Axial view | Brain
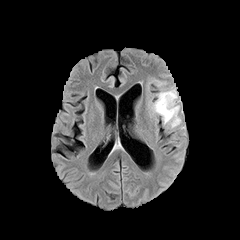
FLAIR MR image.
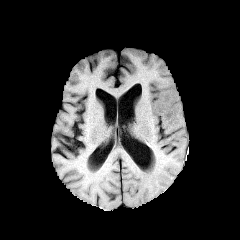
T1-weighted magnetic resonance.
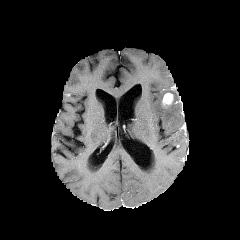
Post-contrast T1-weighted MRI.
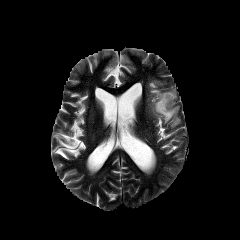
Same slice, T2-weighted magnetic resonance.
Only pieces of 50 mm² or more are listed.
peritumoral edema: bbox=[149, 89, 181, 128]; bbox=[152, 80, 165, 86]
enhancing tumor: bbox=[161, 93, 173, 107]